FLAIR magnetic resonance.
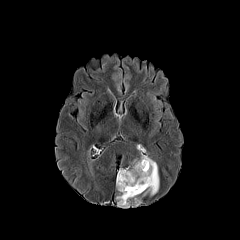
T1-weighted MRI.
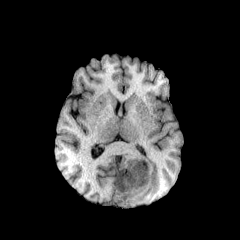
Post-contrast T1-weighted MR.
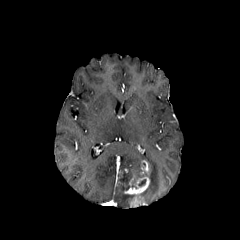
T2-weighted MRI.
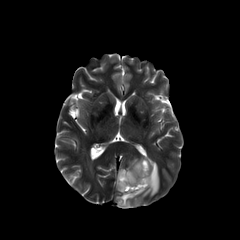
Axial plane | Brain
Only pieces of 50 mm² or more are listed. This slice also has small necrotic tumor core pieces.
Segmented structures:
• peritumoral edema: left=116, top=155, right=159, bottom=207
• enhancing tumor: left=124, top=160, right=150, bottom=205